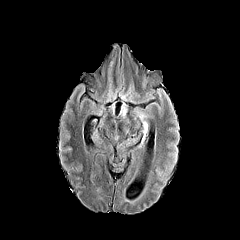
FLAIR MR.
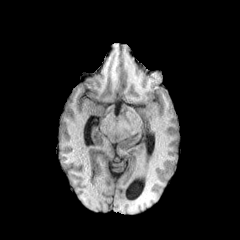
T1-weighted MR image of the same slice.
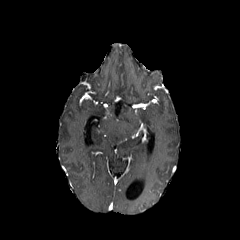
Same slice, post-contrast T1-weighted MR image.
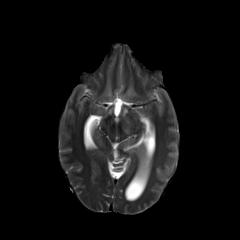
T2-weighted MR.
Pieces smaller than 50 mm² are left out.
peritumoral edema = (138,112,147,127)